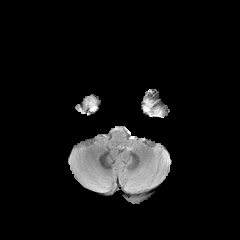
FLAIR MRI.
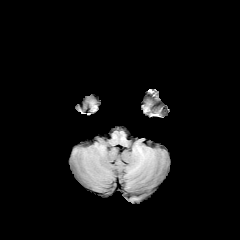
T1-weighted MR of the same slice.
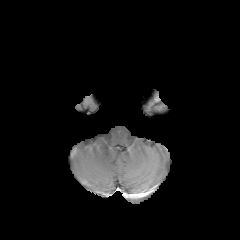
Post-contrast T1-weighted MR.
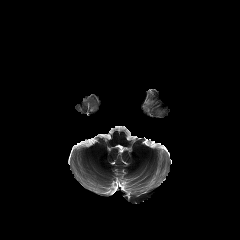
T2-weighted MRI of the same slice.
Axial view.
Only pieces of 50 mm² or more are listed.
The largest peritumoral edema region lies within x1=144 y1=100 x2=152 y2=111.